FLAIR magnetic resonance.
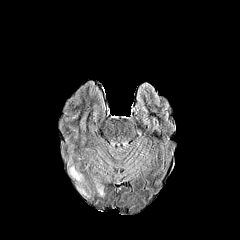
T1-weighted MR image.
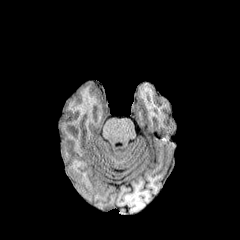
Post-contrast T1-weighted MR.
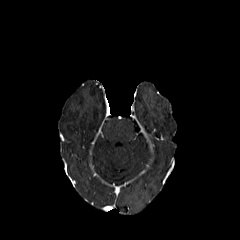
T2-weighted MR.
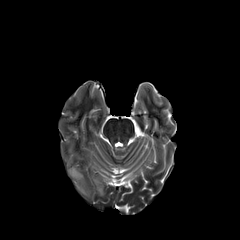
240x240.
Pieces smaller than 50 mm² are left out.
The largest peritumoral edema region is located at 70:167:81:180.